Image size 240x240; Slice 93/155; Axial slice
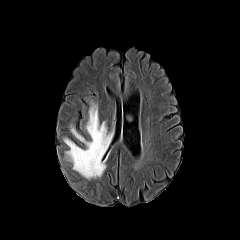
FLAIR MR.
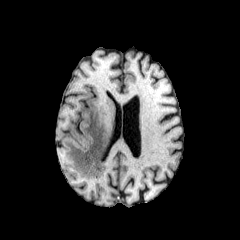
T1-weighted MR.
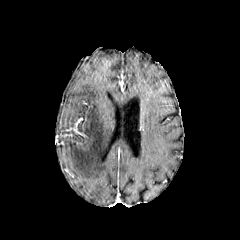
Post-contrast T1-weighted MR image of the same slice.
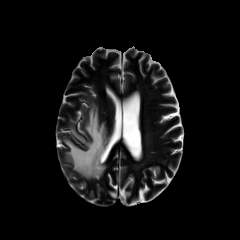
T2-weighted MR image.
{
  "peritumoral_edema": [
    "<box>64,102,109,179</box>"
  ]
}